FLAIR MR image.
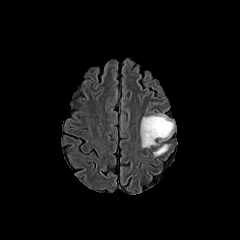
T1-weighted MRI.
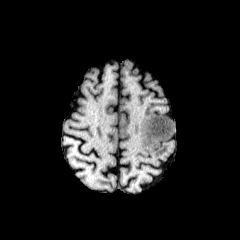
Post-contrast T1-weighted magnetic resonance.
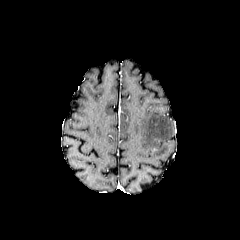
T2-weighted MR image.
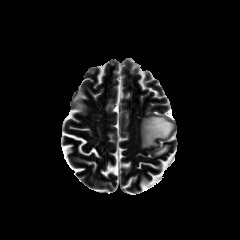
Axial plane
peritumoral edema = [153, 144, 169, 156], [140, 114, 174, 147]